Head; 240x240 px
FLAIR MR image.
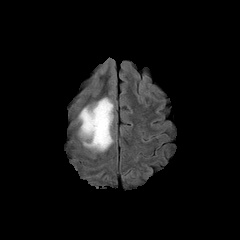
T1-weighted magnetic resonance.
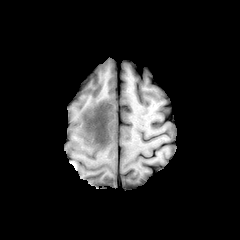
Post-contrast T1-weighted MR.
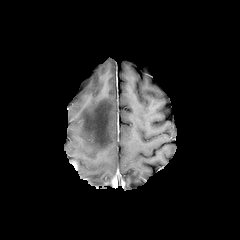
T2-weighted magnetic resonance.
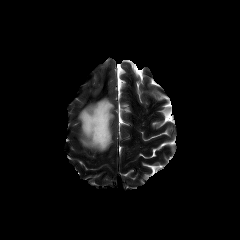
Annotated regions:
- peritumoral edema: (left=79, top=98, right=113, bottom=151)